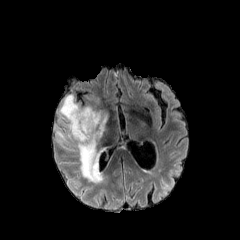
FLAIR MR.
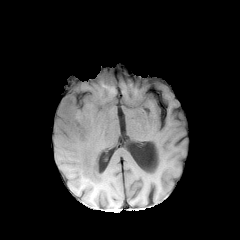
T1-weighted magnetic resonance.
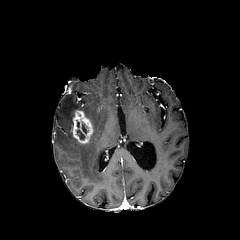
Post-contrast T1-weighted MR image.
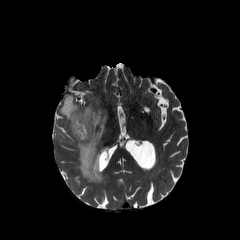
T2-weighted magnetic resonance.
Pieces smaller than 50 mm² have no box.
necrotic tumor core: [x1=77, y1=130, x2=84, y2=139] | peritumoral edema: [x1=59, y1=94, x2=109, y2=182], [x1=56, y1=129, x2=65, y2=140] | enhancing tumor: [x1=71, y1=110, x2=93, y2=144]